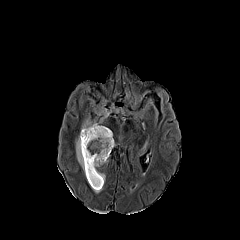
FLAIR MRI.
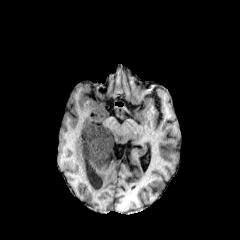
T1-weighted MR image.
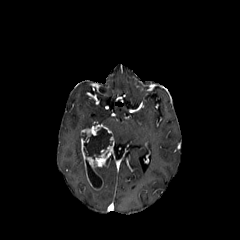
Post-contrast T1-weighted magnetic resonance of the same slice.
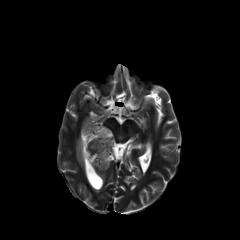
T2-weighted magnetic resonance of the same slice.
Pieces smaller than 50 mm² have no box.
enhancing tumor = (81,124,114,190)
peritumoral edema = (76,132,85,174), (81,116,93,129)
necrotic tumor core = (86,160,102,188), (83,128,112,159)